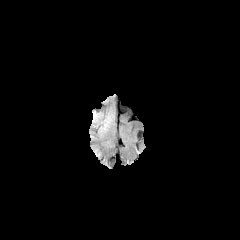
FLAIR MR image.
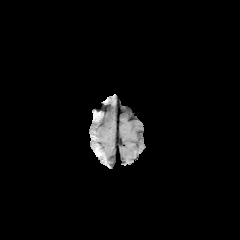
T1-weighted magnetic resonance of the same slice.
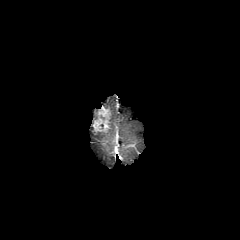
Post-contrast T1-weighted MR.
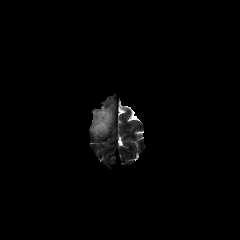
T2-weighted MR of the same slice.
Axial view | Head
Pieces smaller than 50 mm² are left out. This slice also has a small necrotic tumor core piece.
peritumoral edema: (90,124,105,135), (102,106,113,132) | enhancing tumor: (92,107,111,133)